Head. 240x240. Slice 117/155.
FLAIR MRI.
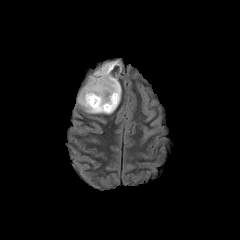
T1-weighted magnetic resonance.
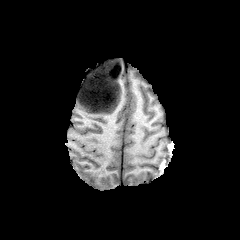
Post-contrast T1-weighted MRI.
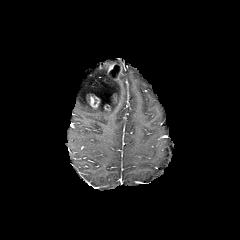
T2-weighted MR.
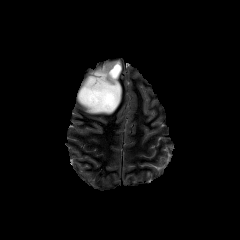
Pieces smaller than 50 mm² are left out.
enhancing tumor: 89,95,99,109; 107,63,116,73 | peritumoral edema: 77,60,121,114 | necrotic tumor core: 85,76,118,111; 108,64,119,79